FLAIR MR image.
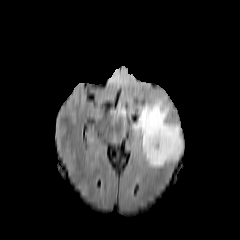
T1-weighted magnetic resonance.
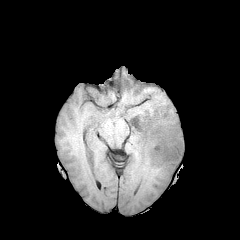
Post-contrast T1-weighted magnetic resonance.
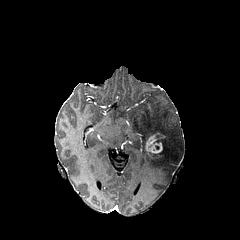
T2-weighted MR image.
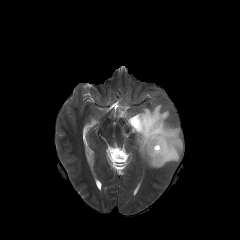
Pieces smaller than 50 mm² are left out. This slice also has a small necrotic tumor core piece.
enhancing_tumor:
  - 145:133:163:154
peritumoral_edema:
  - 132:100:183:167